Image width 240 mm, 1.00 mm slice spacing
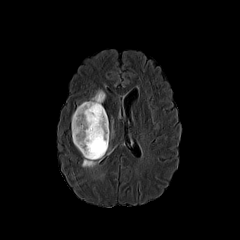
FLAIR MR.
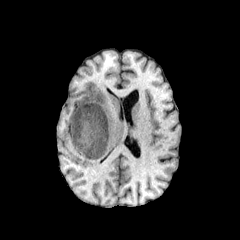
Same slice, T1-weighted MR image.
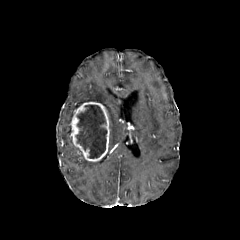
Post-contrast T1-weighted MR image.
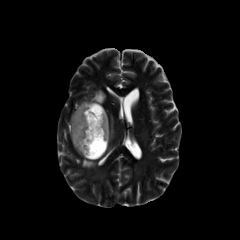
T2-weighted MRI.
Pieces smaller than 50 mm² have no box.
necrotic tumor core at <bbox>76, 105, 106, 158</bbox>
peritumoral edema at <bbox>90, 89, 105, 103</bbox>, <bbox>82, 158, 99, 167</bbox>
enhancing tumor at <bbox>71, 101, 109, 161</bbox>